FLAIR MRI.
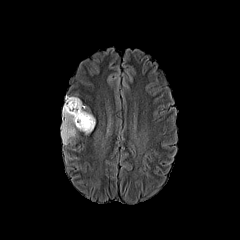
T1-weighted MR.
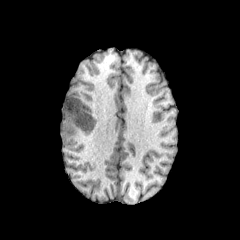
Post-contrast T1-weighted MRI.
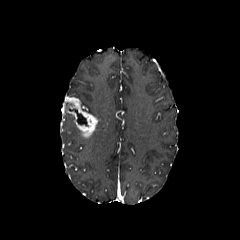
T2-weighted magnetic resonance.
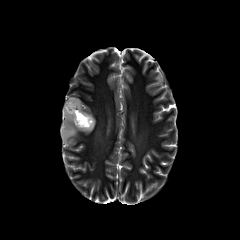
Axial plane; Brain
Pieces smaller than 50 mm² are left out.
necrotic tumor core: bbox(67, 108, 88, 126) | peritumoral edema: bbox(61, 113, 79, 144) | enhancing tumor: bbox(62, 96, 96, 136)